Image covers 240 mm x 240 mm; Slice 71 of 155
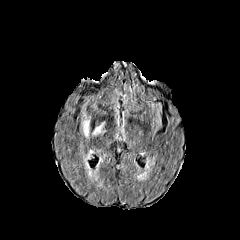
FLAIR MR.
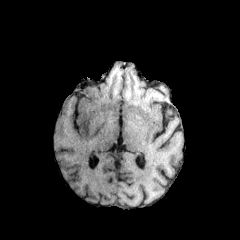
T1-weighted MR image of the same slice.
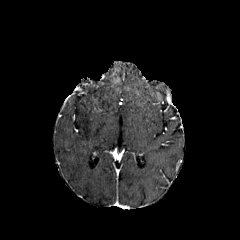
Post-contrast T1-weighted magnetic resonance of the same slice.
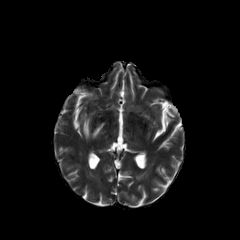
T2-weighted MR image of the same slice.
peritumoral edema: box=[82, 114, 89, 137]; box=[92, 122, 104, 135]